Axial plane | Head
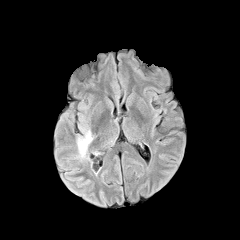
FLAIR MR image.
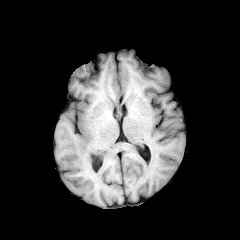
T1-weighted magnetic resonance.
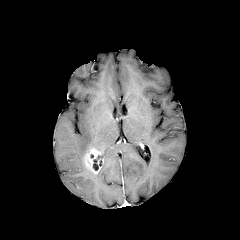
Post-contrast T1-weighted magnetic resonance of the same slice.
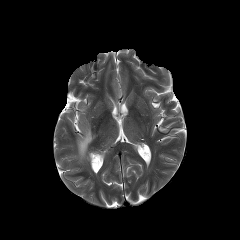
T2-weighted MRI.
enhancing tumor at x1=84 y1=150 x2=99 y2=174
peritumoral edema at x1=77 y1=127 x2=93 y2=161
necrotic tumor core at x1=92 y1=157 x2=99 y2=170